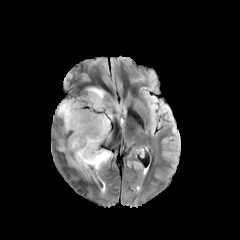
FLAIR MR.
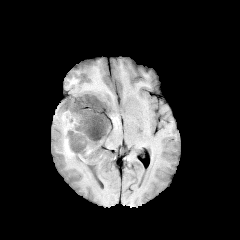
T1-weighted magnetic resonance.
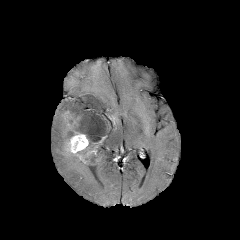
Same slice, post-contrast T1-weighted MRI.
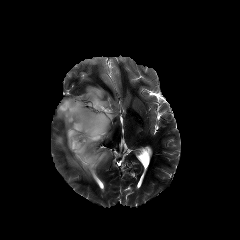
Same slice, T2-weighted MRI.
Image size 240x240
2 necrotic tumor core regions appear at (x1=67, y1=130, x2=74, y2=139), (x1=74, y1=138, x2=83, y2=148). The enhancing tumor is bounded by (x1=65, y1=128, x2=88, y2=153). 2 peritumoral edema regions appear at (x1=57, y1=87, x2=120, y2=176), (x1=58, y1=138, x2=69, y2=151).